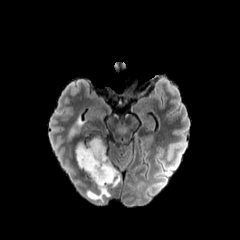
FLAIR magnetic resonance.
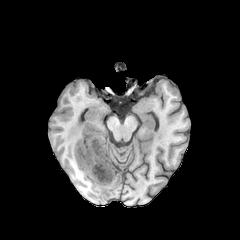
T1-weighted MRI.
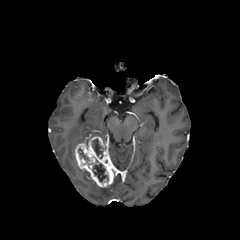
Post-contrast T1-weighted MR image.
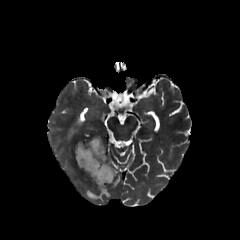
T2-weighted MR of the same slice.
240x240 px. Axial view. Head.
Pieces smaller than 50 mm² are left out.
The 2 largest necrotic tumor core regions are bounded by [92,163,108,181], [92,139,102,158]. The 2 largest peritumoral edema regions are located at [68,119,82,138], [87,174,120,200]. The largest enhancing tumor region appears at [74,136,119,187].